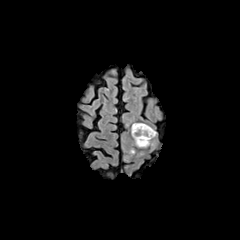
FLAIR MR.
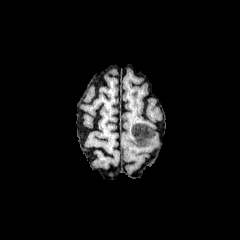
Same slice, T1-weighted MR image.
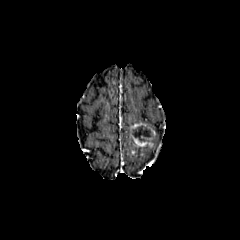
Same slice, post-contrast T1-weighted magnetic resonance.
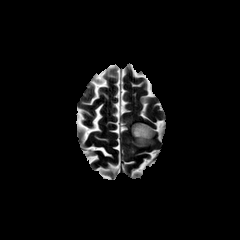
Same slice, T2-weighted magnetic resonance.
Head
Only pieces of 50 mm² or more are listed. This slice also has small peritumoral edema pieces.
enhancing_tumor:
  - (131, 123, 155, 146)
necrotic_tumor_core:
  - (132, 126, 151, 141)